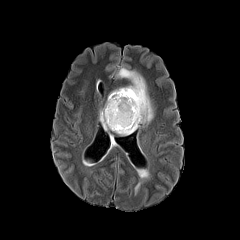
FLAIR magnetic resonance.
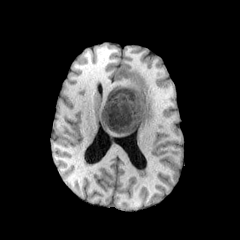
T1-weighted MR.
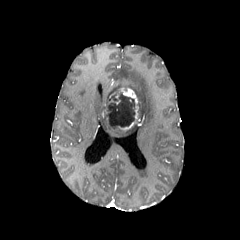
Same slice, post-contrast T1-weighted MR.
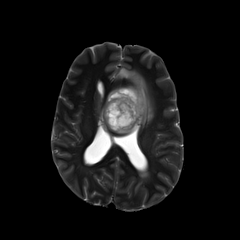
Same slice, T2-weighted MRI.
Brain
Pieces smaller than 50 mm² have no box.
Annotated regions:
• enhancing tumor: left=109, top=88, right=140, bottom=131
• necrotic tumor core: left=104, top=93, right=135, bottom=129
• peritumoral edema: left=113, top=125, right=138, bottom=134; left=116, top=68, right=153, bottom=124; left=99, top=109, right=112, bottom=130